FLAIR MR image.
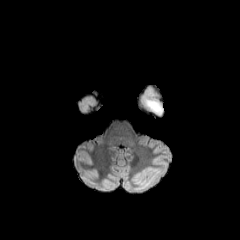
T1-weighted MR.
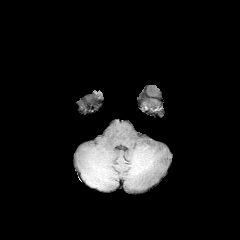
Post-contrast T1-weighted magnetic resonance.
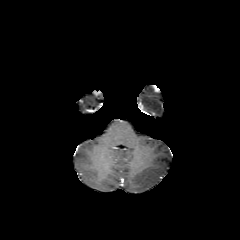
T2-weighted MRI.
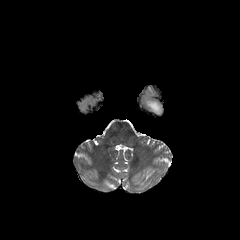
Brain, Axial view
{
  "peritumoral_edema": [
    "box=[144, 98, 164, 117]"
  ]
}